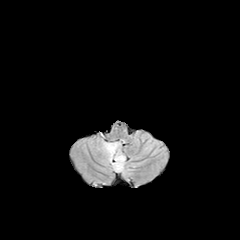
FLAIR MRI.
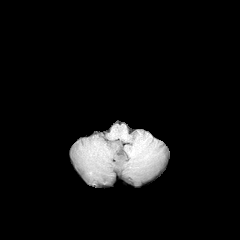
T1-weighted MRI of the same slice.
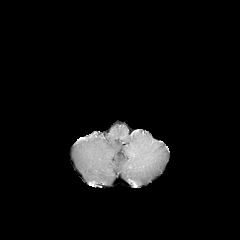
Post-contrast T1-weighted MR.
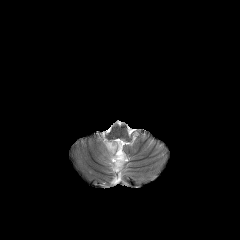
Same slice, T2-weighted MR.
Axial view. 240x240 px. Head.
peritumoral edema: (103,141,125,171)